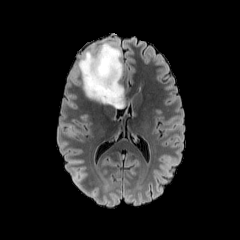
FLAIR MRI.
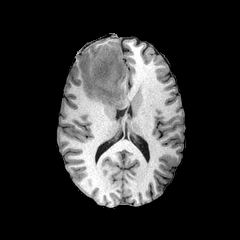
T1-weighted MRI.
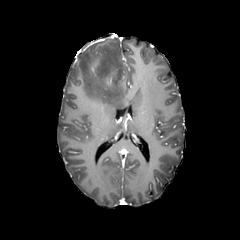
Post-contrast T1-weighted MRI.
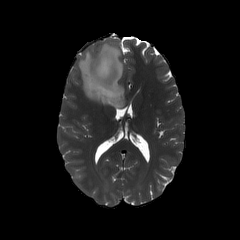
T2-weighted MR image.
Brain.
Annotated regions:
• peritumoral edema: 78,44,125,108
• enhancing tumor: 106,72,119,86; 91,56,100,76